FLAIR MR.
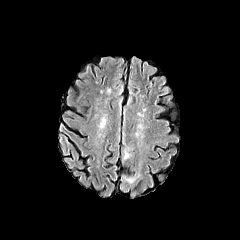
T1-weighted MR image.
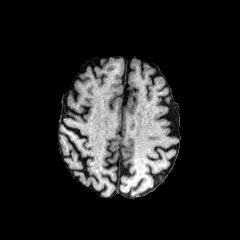
Post-contrast T1-weighted MR image.
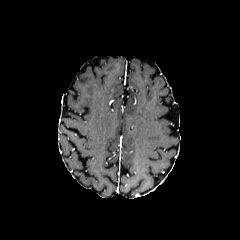
T2-weighted MR.
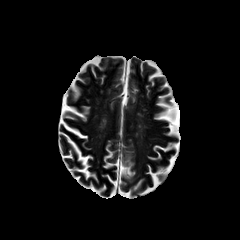
Head
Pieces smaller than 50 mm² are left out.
Annotated regions:
• peritumoral edema: (left=123, top=176, right=136, bottom=183), (left=123, top=147, right=131, bottom=160)